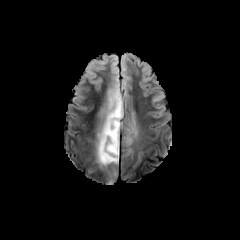
FLAIR MR image.
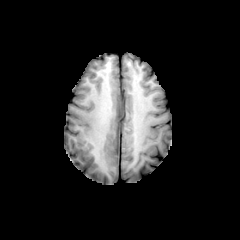
Same slice, T1-weighted magnetic resonance.
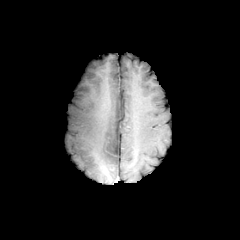
Post-contrast T1-weighted magnetic resonance.
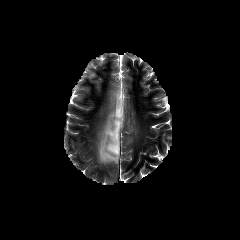
T2-weighted MR image.
Image size 240x240, Brain, Axial view
peritumoral edema: [97, 102, 123, 165]